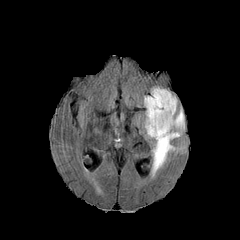
FLAIR MRI.
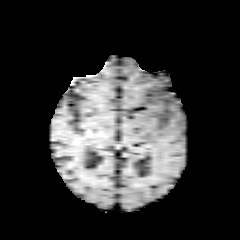
T1-weighted MRI.
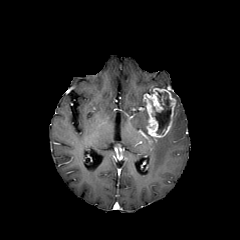
Post-contrast T1-weighted MR image.
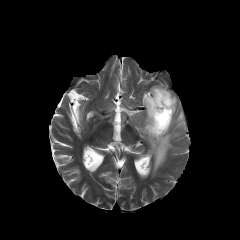
T2-weighted MR image.
Head, Axial slice
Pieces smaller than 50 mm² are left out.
Findings:
* necrotic tumor core: (154,92,171,134)
* enhancing tumor: (143,88,176,139)
* peritumoral edema: (152,100,184,176), (144,110,154,139)